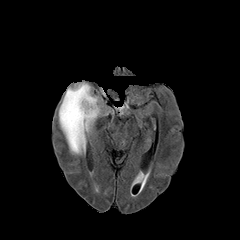
FLAIR MR image.
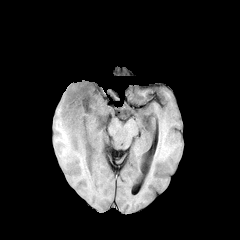
Same slice, T1-weighted MRI.
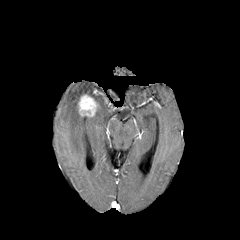
Post-contrast T1-weighted MR image.
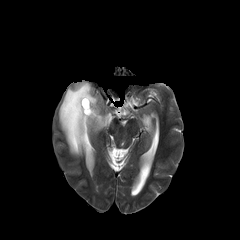
T2-weighted magnetic resonance of the same slice.
Axial plane, Brain
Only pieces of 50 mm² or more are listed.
enhancing tumor: bounding box [x1=77, y1=94, x2=98, y2=116]
peritumoral edema: bounding box [x1=58, y1=82, x2=102, y2=155]